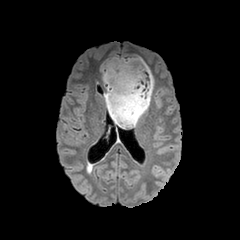
FLAIR MR.
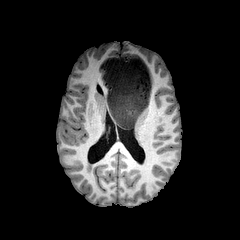
Same slice, T1-weighted MR image.
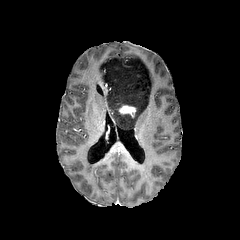
Post-contrast T1-weighted MR of the same slice.
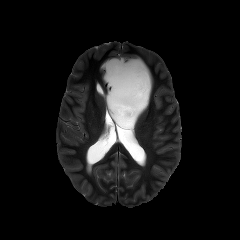
T2-weighted MR image of the same slice.
Head
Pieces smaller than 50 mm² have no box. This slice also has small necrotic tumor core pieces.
enhancing_tumor:
  - (119, 105, 136, 115)
peritumoral_edema:
  - (101, 57, 154, 127)